FLAIR magnetic resonance.
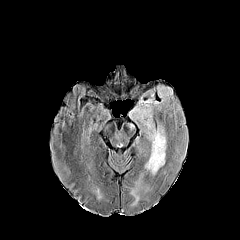
T1-weighted MR.
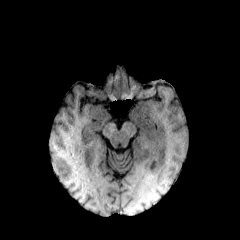
Post-contrast T1-weighted magnetic resonance.
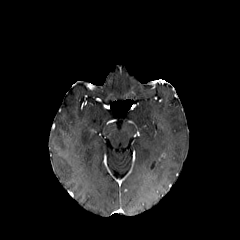
T2-weighted magnetic resonance.
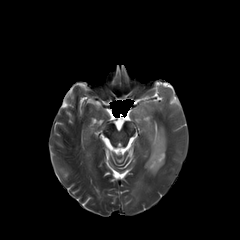
Axial view; Image size 240x240; Brain
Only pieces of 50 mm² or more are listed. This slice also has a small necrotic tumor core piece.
{"peritumoral_edema": ["[x1=130, y1=107, x2=166, y2=174]"], "enhancing_tumor": ["[x1=148, y1=160, x2=157, y2=170]"]}